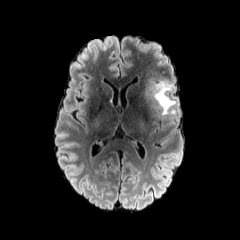
FLAIR MR.
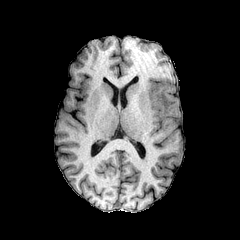
T1-weighted MR image of the same slice.
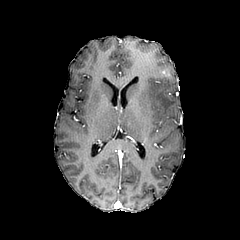
Post-contrast T1-weighted magnetic resonance.
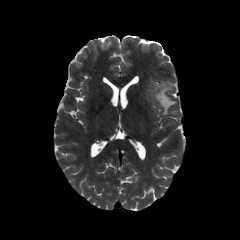
T2-weighted MR image of the same slice.
Image size 240x240; Head
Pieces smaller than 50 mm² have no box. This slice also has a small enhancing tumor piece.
peritumoral edema: l=152, t=82, r=176, b=114